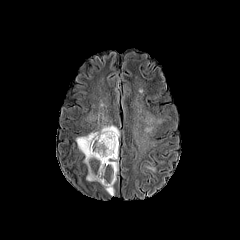
FLAIR MR.
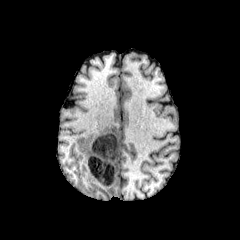
T1-weighted MRI.
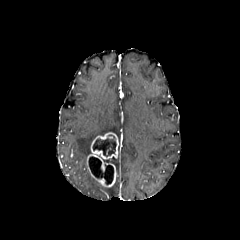
Same slice, post-contrast T1-weighted MR image.
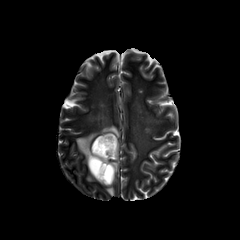
T2-weighted MR of the same slice.
Image size 240x240 | Head
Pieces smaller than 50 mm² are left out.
enhancing tumor: l=86, t=132, r=118, b=187
necrotic tumor core: l=93, t=138, r=116, b=156; l=89, t=157, r=113, b=184
peritumoral edema: l=104, t=186, r=114, b=195; l=108, t=158, r=118, b=172; l=146, t=116, r=154, b=125; l=76, t=115, r=119, b=162